Axial slice
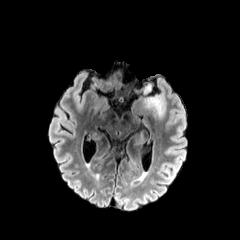
FLAIR MR.
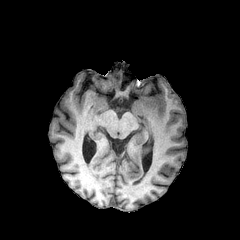
T1-weighted MRI of the same slice.
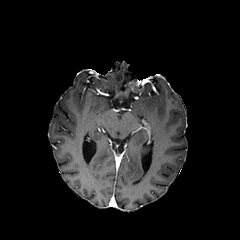
Post-contrast T1-weighted MR image.
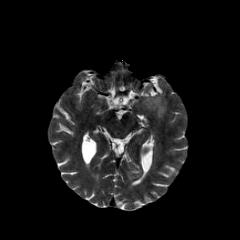
Same slice, T2-weighted MRI.
peritumoral edema: 143:84:151:93, 143:95:164:118